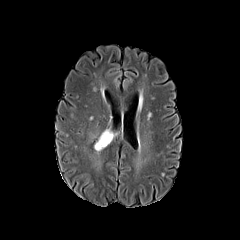
FLAIR MR image.
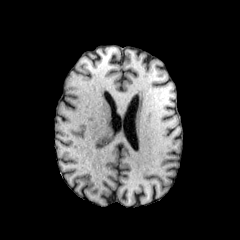
T1-weighted MR.
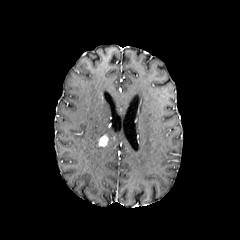
Post-contrast T1-weighted MR of the same slice.
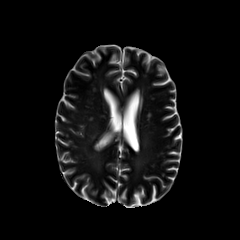
T2-weighted MR of the same slice.
240x240 px. Axial view.
The enhancing tumor is located at {"x1": 98, "y1": 135, "x2": 108, "y2": 146}. 2 peritumoral edema regions are bounded by {"x1": 101, "y1": 130, "x2": 114, "y2": 146}, {"x1": 94, "y1": 140, "x2": 104, "y2": 153}.